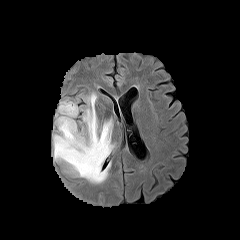
FLAIR MRI.
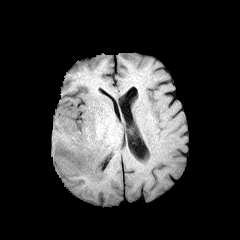
Same slice, T1-weighted MRI.
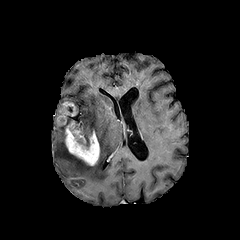
Same slice, post-contrast T1-weighted MR image.
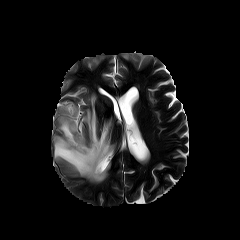
T2-weighted MRI.
Image size 240x240. Brain.
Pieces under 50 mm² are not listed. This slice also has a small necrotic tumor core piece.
peritumoral edema = left=53, top=93, right=115, bottom=183
enhancing tumor = left=65, top=120, right=99, bottom=165; left=57, top=101, right=77, bottom=125